Axial view, Head
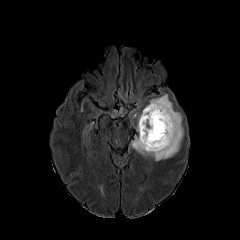
FLAIR MR image.
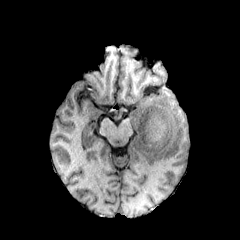
T1-weighted MR image.
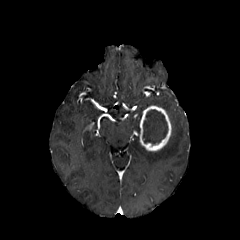
Same slice, post-contrast T1-weighted magnetic resonance.
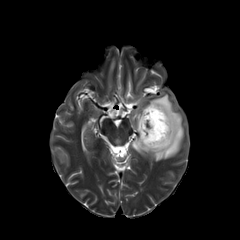
T2-weighted MR image of the same slice.
<segmentation>
  <necrotic_tumor_core>(143, 110, 167, 144)</necrotic_tumor_core>
  <enhancing_tumor>(139, 105, 171, 151)</enhancing_tumor>
  <peritumoral_edema>(130, 86, 183, 161)</peritumoral_edema>
</segmentation>